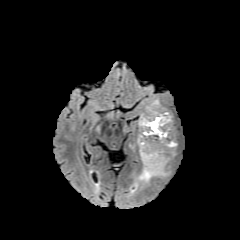
FLAIR magnetic resonance.
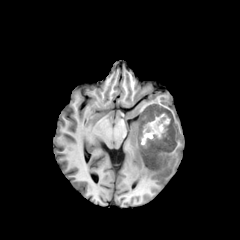
T1-weighted magnetic resonance of the same slice.
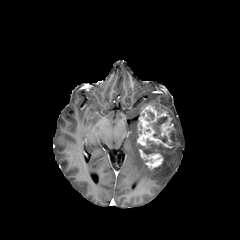
Post-contrast T1-weighted MRI.
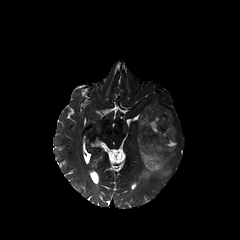
T2-weighted magnetic resonance of the same slice.
Head | Axial slice
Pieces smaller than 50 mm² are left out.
The largest peritumoral edema region is at [137,151,175,183]. The 2 largest enhancing tumor regions are located at [137,104,175,147], [139,146,169,169]. The 4 largest necrotic tumor core regions appear at [141,139,172,156], [149,116,167,142], [168,130,174,145], [146,111,154,121].